Brain, Image width 240 mm, Axial plane
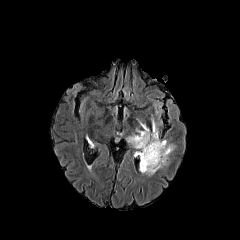
FLAIR magnetic resonance.
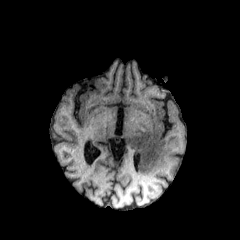
T1-weighted MR image of the same slice.
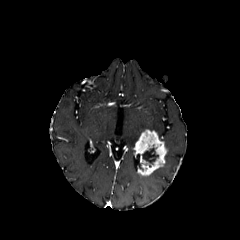
Post-contrast T1-weighted MR image.
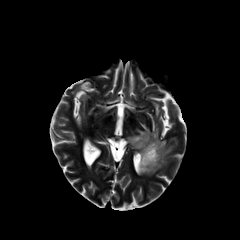
T2-weighted magnetic resonance of the same slice.
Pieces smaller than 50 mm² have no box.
{
  "necrotic_tumor_core": [
    "142 148 158 164"
  ],
  "enhancing_tumor": [
    "134 129 167 175"
  ],
  "peritumoral_edema": [
    "151 118 158 135",
    "163 139 174 165",
    "126 129 143 147"
  ]
}